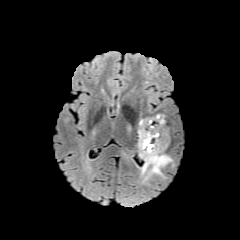
FLAIR MR image.
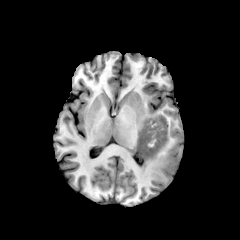
Same slice, T1-weighted MR.
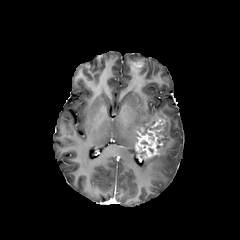
Post-contrast T1-weighted magnetic resonance of the same slice.
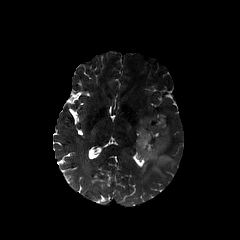
T2-weighted MR.
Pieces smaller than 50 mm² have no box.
The largest enhancing tumor region appears at [136, 117, 165, 159]. The 2 largest peritumoral edema regions are located at [141, 126, 174, 179], [138, 114, 165, 130]. The largest necrotic tumor core region is located at [156, 125, 164, 142].